FLAIR MRI.
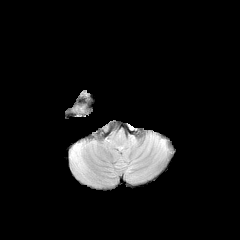
T1-weighted MR image.
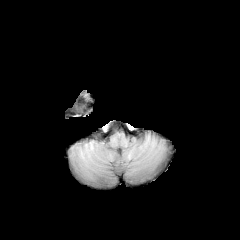
Post-contrast T1-weighted MR image.
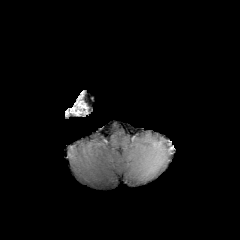
T2-weighted magnetic resonance.
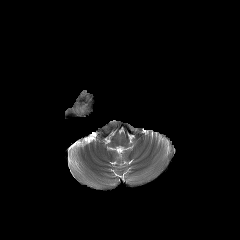
Brain; Image size 240x240; Axial view
<segmentation>
  <enhancing_tumor>[71,104,84,114]</enhancing_tumor>
</segmentation>